Image width 240 mm, 1.00 mm slice spacing. Head.
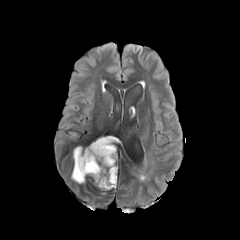
FLAIR MR image.
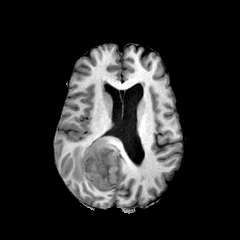
T1-weighted MRI.
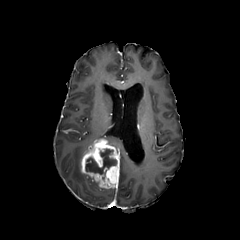
Post-contrast T1-weighted MR.
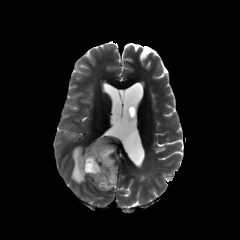
Same slice, T2-weighted MR image.
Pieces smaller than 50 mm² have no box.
peritumoral edema: 98,136,118,144; 71,146,86,183 | enhancing tumor: 81,139,119,188 | necrotic tumor core: 85,149,115,174